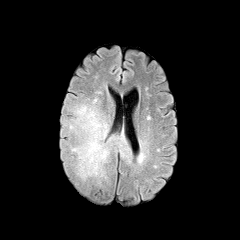
FLAIR MR.
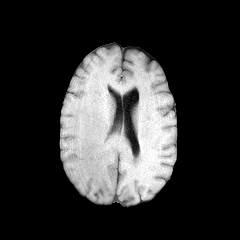
T1-weighted magnetic resonance of the same slice.
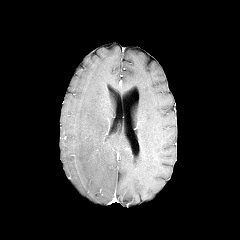
Same slice, post-contrast T1-weighted MR image.
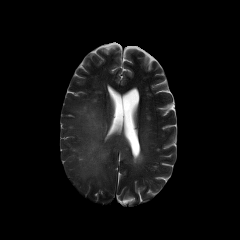
T2-weighted MR.
Head. Axial view.
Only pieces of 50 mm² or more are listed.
peritumoral edema: box(69, 98, 127, 183)